Axial view, Image covers 240 mm x 240 mm, Slice 75 of 155
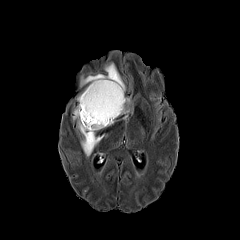
FLAIR MR image.
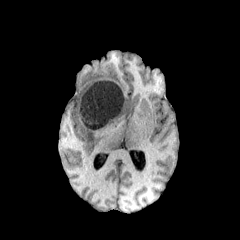
T1-weighted MR image of the same slice.
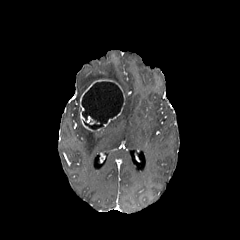
Post-contrast T1-weighted MRI of the same slice.
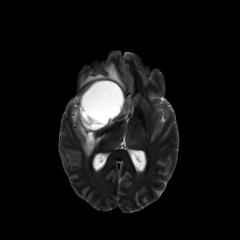
T2-weighted magnetic resonance of the same slice.
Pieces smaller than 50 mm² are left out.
Segmented structures:
- peritumoral edema: [72,105,104,156], [80,62,125,92], [121,97,133,120]
- enhancing tumor: [79,79,125,131]
- necrotic tumor core: [81,81,123,130]